FLAIR MR.
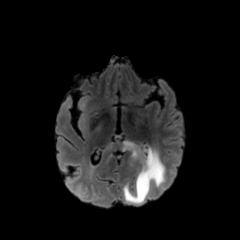
T1-weighted MRI.
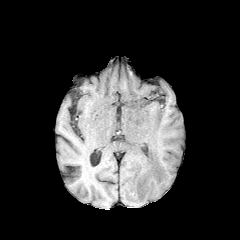
Post-contrast T1-weighted MR.
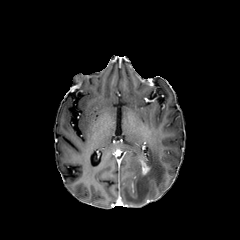
T2-weighted magnetic resonance.
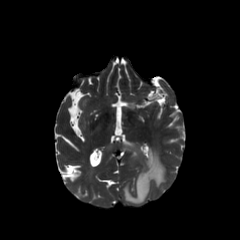
Axial slice.
enhancing tumor = box=[141, 160, 149, 174]
peritumoral edema = box=[122, 141, 165, 204]